Image size 240x240, Slice 49 of 155, Head, Axial slice
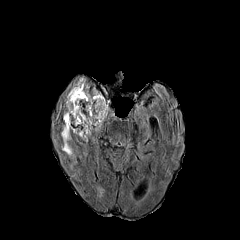
FLAIR MR.
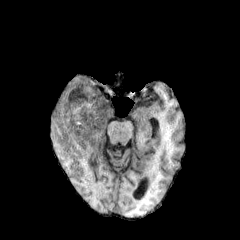
Same slice, T1-weighted magnetic resonance.
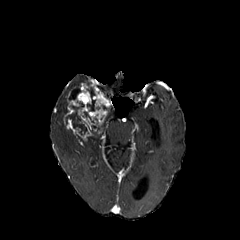
Post-contrast T1-weighted MR image.
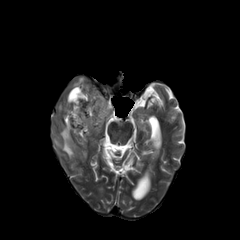
Same slice, T2-weighted MR image.
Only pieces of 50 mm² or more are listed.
Segmented structures:
* enhancing tumor: l=63, t=83, r=110, b=140
* peritumoral edema: l=61, t=125, r=73, b=156; l=73, t=77, r=85, b=87
* necrotic tumor core: l=87, t=99, r=95, b=111; l=68, t=86, r=80, b=100; l=66, t=102, r=86, b=134